Head | 240x240 px | Image covers 240 mm x 240 mm
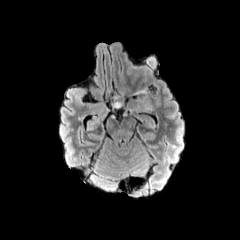
FLAIR magnetic resonance.
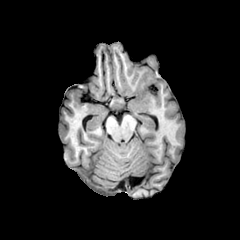
Same slice, T1-weighted MR image.
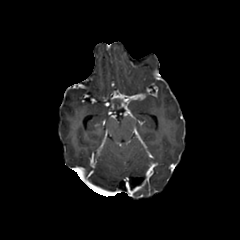
Post-contrast T1-weighted magnetic resonance.
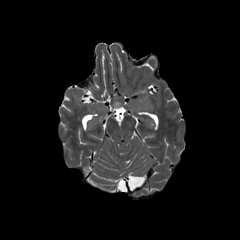
T2-weighted magnetic resonance.
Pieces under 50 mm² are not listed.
enhancing tumor: bounding box [127,83,157,102], [113,90,125,102]
peritumoral edema: bounding box [137,96,151,109]